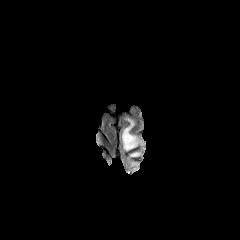
FLAIR MR image.
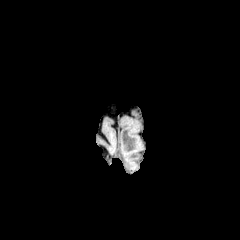
T1-weighted magnetic resonance of the same slice.
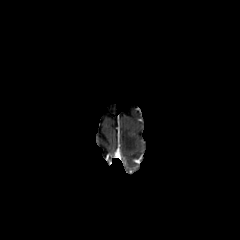
Post-contrast T1-weighted magnetic resonance.
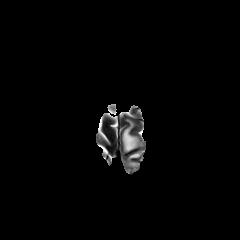
Same slice, T2-weighted MRI.
Axial slice. Brain.
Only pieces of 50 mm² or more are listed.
The largest peritumoral edema region is located at box(122, 119, 142, 151).